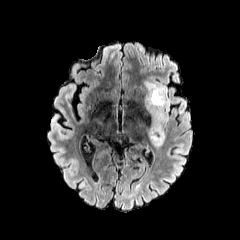
FLAIR MRI.
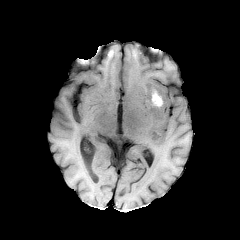
T1-weighted magnetic resonance of the same slice.
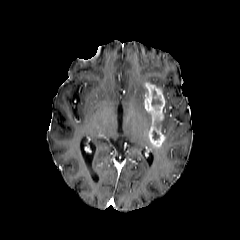
Post-contrast T1-weighted MRI.
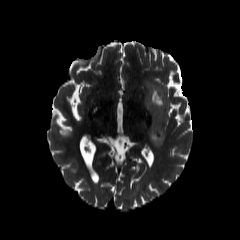
T2-weighted magnetic resonance of the same slice.
240x240 px, Axial view
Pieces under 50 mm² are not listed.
peritumoral edema: [145, 81, 170, 120], [179, 101, 185, 112] | necrotic tumor core: [151, 90, 162, 105] | enhancing tumor: [144, 82, 166, 147]